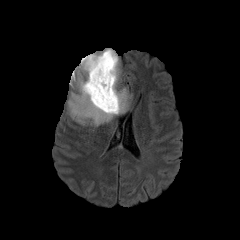
FLAIR MR image.
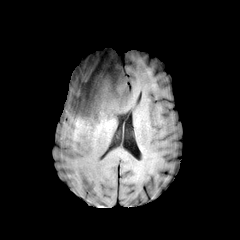
T1-weighted magnetic resonance.
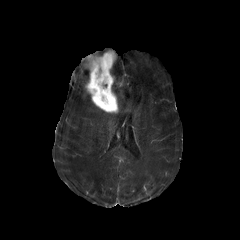
Post-contrast T1-weighted magnetic resonance.
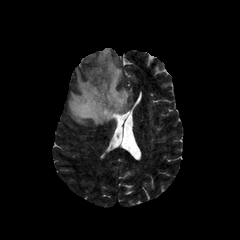
T2-weighted magnetic resonance of the same slice.
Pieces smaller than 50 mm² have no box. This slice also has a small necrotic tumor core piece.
{
  "peritumoral_edema": [
    "[90,48,113,55]",
    "[67,54,130,126]"
  ],
  "enhancing_tumor": [
    "[84,50,118,112]"
  ]
}